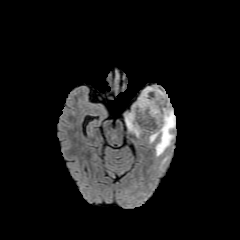
FLAIR magnetic resonance.
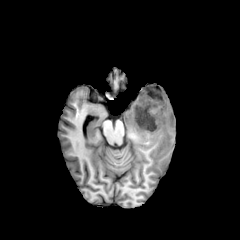
Same slice, T1-weighted magnetic resonance.
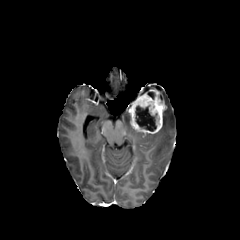
Post-contrast T1-weighted MR image.
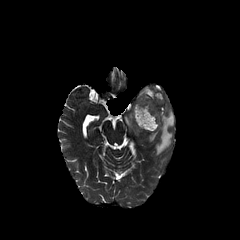
T2-weighted magnetic resonance.
240x240 px
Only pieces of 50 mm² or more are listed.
necrotic tumor core at <box>135,106,156,131</box>
enhancing tumor at <box>129,89,166,133</box>
peritumoral edema at <box>149,89,175,156</box>, <box>124,113,142,137</box>